FLAIR magnetic resonance.
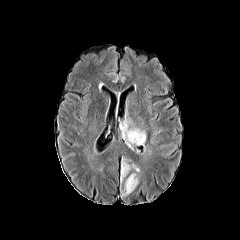
T1-weighted MRI.
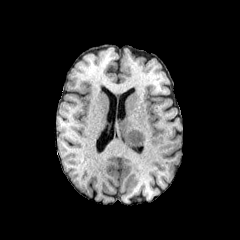
Post-contrast T1-weighted MR.
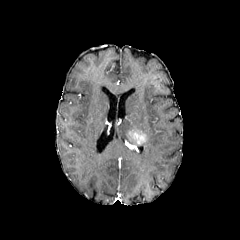
T2-weighted magnetic resonance.
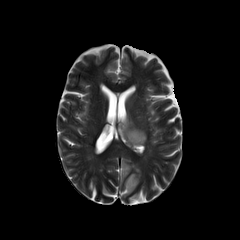
Brain
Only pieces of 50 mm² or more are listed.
• peritumoral edema: (123, 173, 139, 196), (121, 157, 139, 177), (119, 119, 145, 145)
• enhancing tumor: (127, 130, 145, 145)